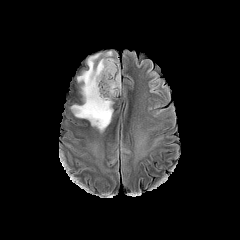
FLAIR magnetic resonance.
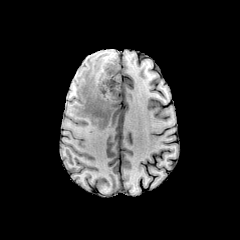
T1-weighted MRI of the same slice.
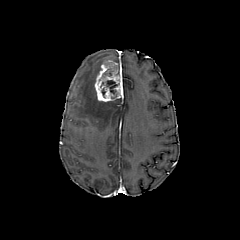
Post-contrast T1-weighted MR image.
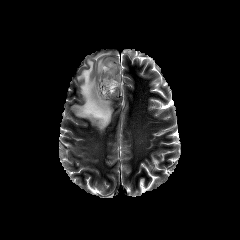
T2-weighted MR image of the same slice.
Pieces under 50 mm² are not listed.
The enhancing tumor is located at (94,60,122,101). The largest necrotic tumor core region is located at (106,80,118,93). The largest peritumoral edema region is bounded by (71,51,117,131).